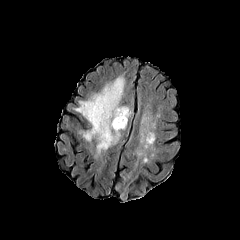
FLAIR magnetic resonance.
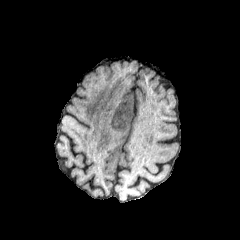
T1-weighted MR of the same slice.
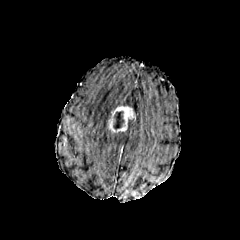
Post-contrast T1-weighted MR image.
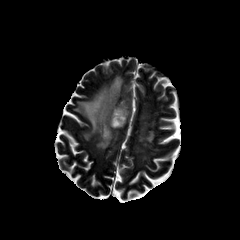
Same slice, T2-weighted MRI.
• peritumoral edema: {"x1": 74, "y1": 76, "x2": 124, "y2": 155}
• necrotic tumor core: {"x1": 113, "y1": 111, "x2": 124, "y2": 129}
• enhancing tumor: {"x1": 108, "y1": 106, "x2": 133, "y2": 132}